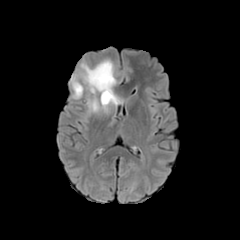
FLAIR MR image.
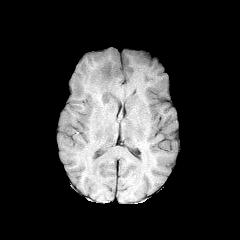
T1-weighted magnetic resonance.
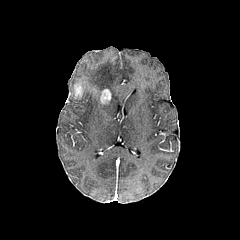
Post-contrast T1-weighted MRI.
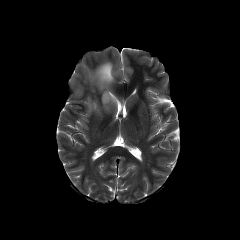
T2-weighted magnetic resonance.
Brain
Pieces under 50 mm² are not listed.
Segmented structures:
* enhancing tumor: box(74, 84, 82, 96); box(101, 89, 111, 103)
* peritumoral edema: box(89, 100, 99, 111); box(102, 98, 116, 109); box(79, 61, 115, 94)